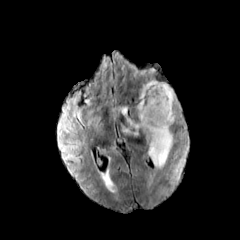
FLAIR MRI.
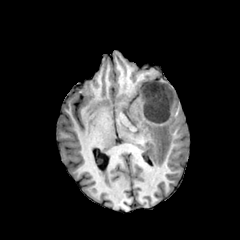
Same slice, T1-weighted magnetic resonance.
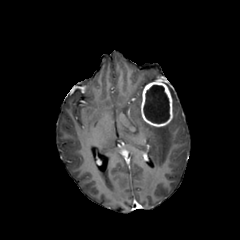
Same slice, post-contrast T1-weighted MR.
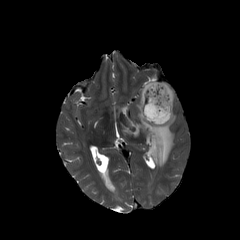
T2-weighted magnetic resonance.
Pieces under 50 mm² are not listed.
* necrotic tumor core: (143, 85, 169, 123)
* enhancing tumor: (141, 80, 172, 126)
* peritumoral edema: (123, 92, 175, 167)